FLAIR MR image.
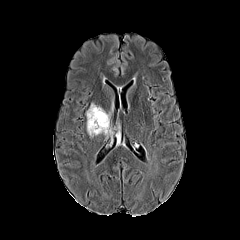
T1-weighted MR.
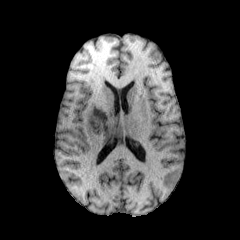
Post-contrast T1-weighted MRI.
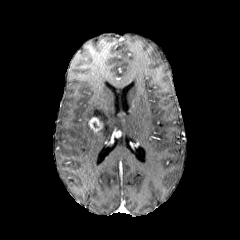
T2-weighted MR.
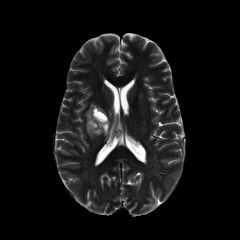
Brain, Image size 240x240, Axial plane
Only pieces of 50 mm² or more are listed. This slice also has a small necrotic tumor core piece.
<segmentation>
  <enhancing_tumor>88, 116, 102, 132</enhancing_tumor>
  <peritumoral_edema>86, 103, 111, 137</peritumoral_edema>
</segmentation>